Image width 240 mm, Image size 240x240, Brain
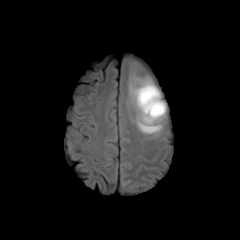
FLAIR MR image.
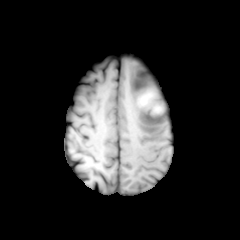
T1-weighted MR.
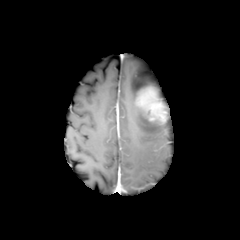
Post-contrast T1-weighted magnetic resonance.
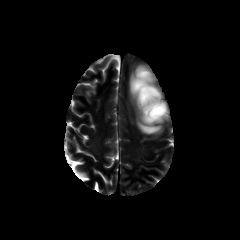
T2-weighted MR image.
The peritumoral edema is located at [129, 66, 166, 135]. The enhancing tumor appears at [139, 87, 166, 121].